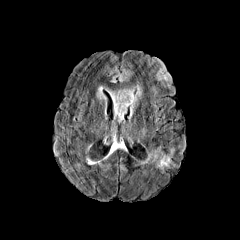
FLAIR MR.
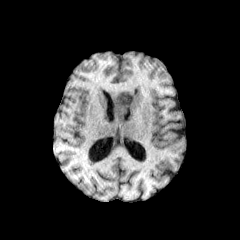
T1-weighted MR image of the same slice.
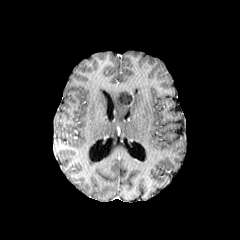
Post-contrast T1-weighted MR.
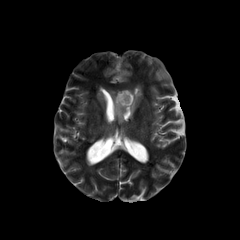
T2-weighted magnetic resonance.
Axial view | 240x240 px
<segmentation>
  <necrotic_tumor_core>(116, 92, 131, 104)</necrotic_tumor_core>
  <peritumoral_edema>(111, 65, 131, 82), (105, 88, 116, 101), (130, 85, 141, 115), (97, 86, 105, 99), (114, 102, 127, 122)</peritumoral_edema>
  <enhancing_tumor>(114, 89, 134, 107)</enhancing_tumor>
</segmentation>